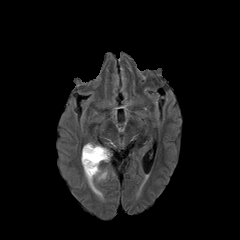
FLAIR magnetic resonance.
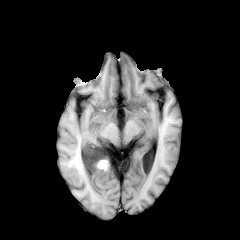
T1-weighted MR image.
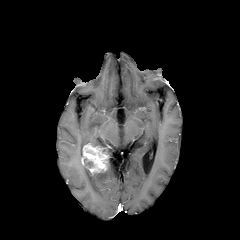
Post-contrast T1-weighted MR image.
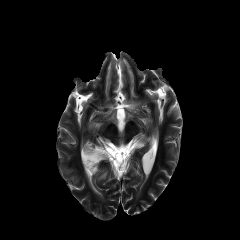
T2-weighted magnetic resonance.
Axial view
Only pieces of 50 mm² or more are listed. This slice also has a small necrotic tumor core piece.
Annotated regions:
- peritumoral edema: [83, 166, 107, 197]
- enhancing tumor: [81, 143, 110, 174]